FLAIR MR.
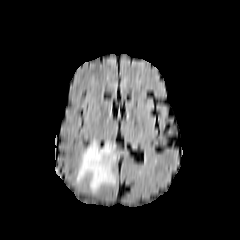
T1-weighted MRI.
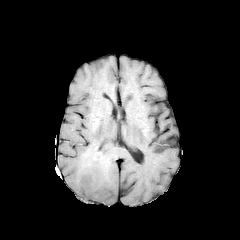
Post-contrast T1-weighted MR.
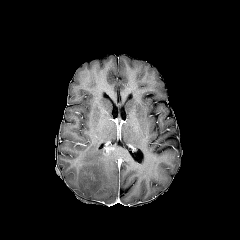
T2-weighted MR.
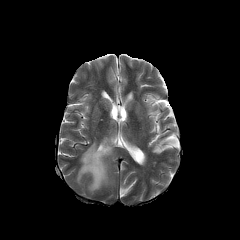
Image size 240x240. Head.
Segmented structures:
* enhancing tumor: (left=103, top=146, right=113, bottom=155)
* peritumoral edema: (left=76, top=141, right=124, bottom=192)